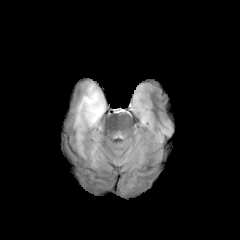
FLAIR MRI.
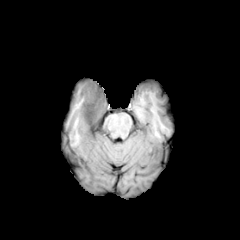
T1-weighted MR image.
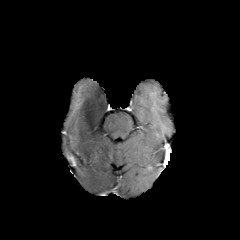
Post-contrast T1-weighted magnetic resonance.
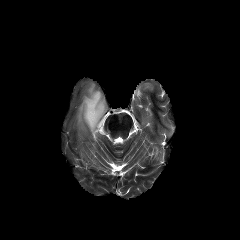
T2-weighted MR of the same slice.
Brain.
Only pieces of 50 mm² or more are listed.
The necrotic tumor core is at <box>79,91,104,135</box>. The 2 largest peritumoral edema regions appear at <box>91,132,99,156</box>, <box>75,83,99,150</box>.